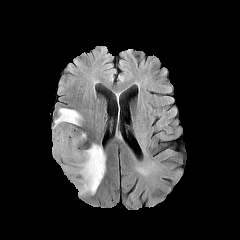
FLAIR magnetic resonance.
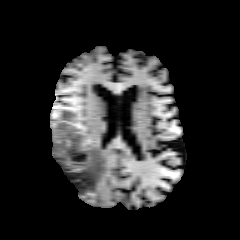
T1-weighted MR image.
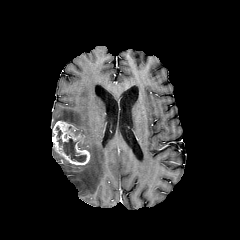
Post-contrast T1-weighted MR image of the same slice.
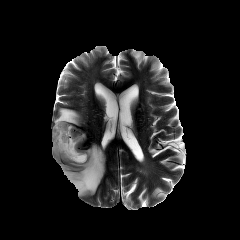
T2-weighted MR image.
Axial view
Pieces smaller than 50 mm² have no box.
necrotic tumor core: bounding box <box>56,126,86,162</box>
enhancing tumor: bounding box <box>52,121,90,165</box>
peritumoral edema: bounding box <box>54,108,82,125</box>, <box>61,143,105,196</box>